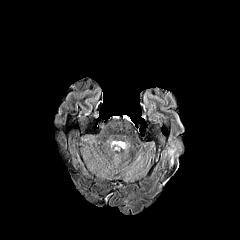
FLAIR MRI.
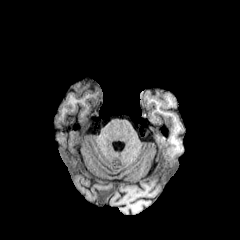
T1-weighted MR image.
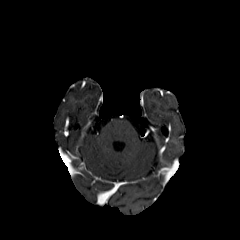
Post-contrast T1-weighted magnetic resonance.
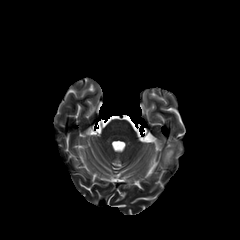
T2-weighted MRI of the same slice.
Image size 240x240 | Brain
<segmentation>
  <peritumoral_edema>(x1=166, y1=150, x2=174, y2=168)</peritumoral_edema>
</segmentation>